Axial plane; Slice 96/155; Brain
FLAIR MR.
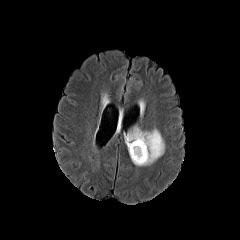
T1-weighted MRI.
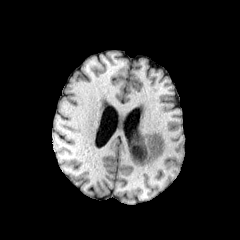
Post-contrast T1-weighted MR.
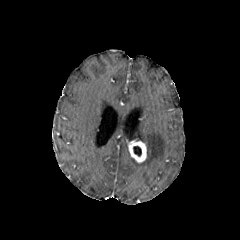
T2-weighted magnetic resonance.
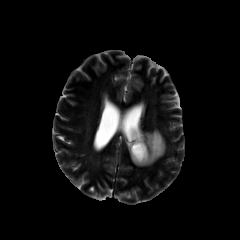
peritumoral edema = rect(125, 129, 165, 166)
necrotic tumor core = rect(133, 146, 141, 156)
enhancing tumor = rect(128, 140, 146, 162)